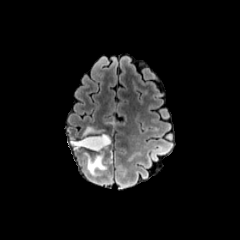
FLAIR MR image.
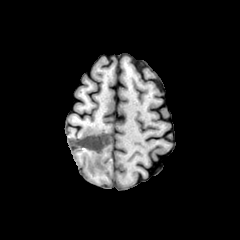
Same slice, T1-weighted MR image.
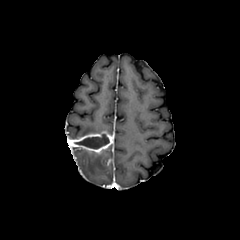
Post-contrast T1-weighted MR image of the same slice.
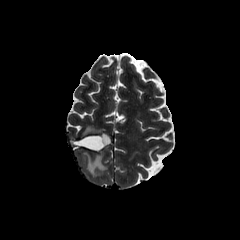
T2-weighted MRI of the same slice.
Head.
Findings:
* enhancing tumor: box(71, 131, 112, 153)
* peritumoral edema: box(83, 126, 101, 135); box(84, 151, 106, 174)
* necrotic tumor core: box(75, 134, 109, 149)